Axial view, Slice 90/155, 240x240 px, Image width 240 mm, 1.00 mm slice spacing
FLAIR MRI.
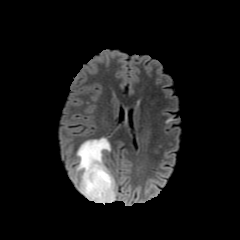
T1-weighted MR.
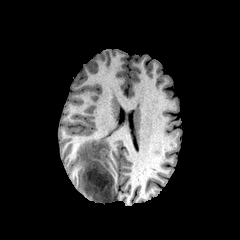
Post-contrast T1-weighted MR.
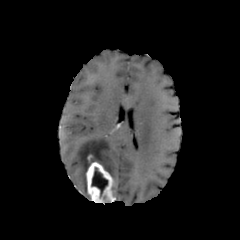
T2-weighted MR image.
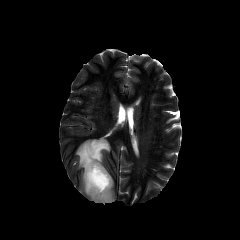
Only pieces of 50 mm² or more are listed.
<segmentation>
  <necrotic_tumor_core>box(91, 168, 107, 196)</necrotic_tumor_core>
  <peritumoral_edema>box(76, 138, 110, 199)</peritumoral_edema>
  <enhancing_tumor>box(85, 154, 115, 204)</enhancing_tumor>
</segmentation>